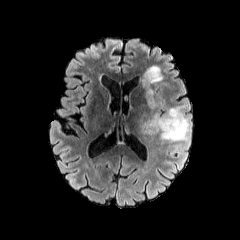
FLAIR MR image.
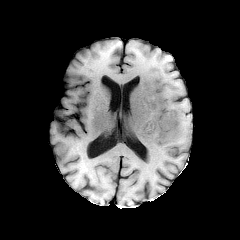
T1-weighted MR image.
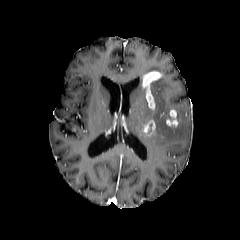
Post-contrast T1-weighted magnetic resonance of the same slice.
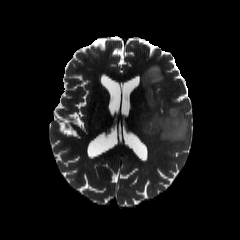
T2-weighted magnetic resonance.
Axial plane
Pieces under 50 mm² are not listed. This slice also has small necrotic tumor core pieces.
peritumoral edema: <box>143,66,161,75</box>, <box>141,88,191,143</box>
enhancing tumor: <box>165,109,178,128</box>, <box>142,71,161,109</box>, <box>143,120,155,136</box>